Image width 240 mm, 1.00 mm slice spacing; Slice 32 of 155
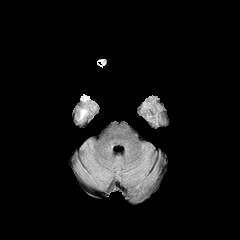
FLAIR MR.
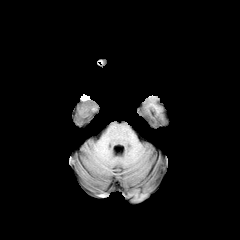
T1-weighted MRI.
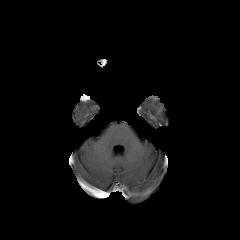
Same slice, post-contrast T1-weighted MRI.
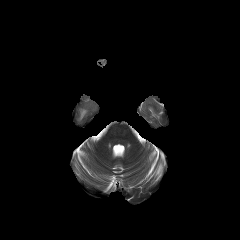
T2-weighted MR image.
peritumoral edema: 79,109,87,119